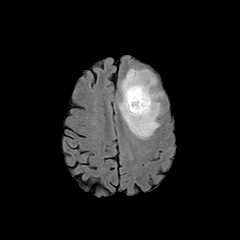
FLAIR magnetic resonance.
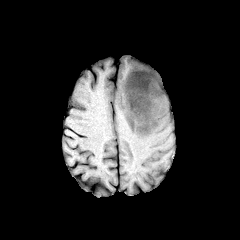
T1-weighted MRI of the same slice.
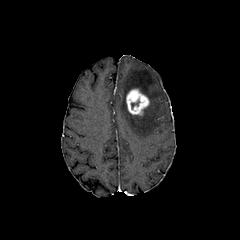
Post-contrast T1-weighted magnetic resonance of the same slice.
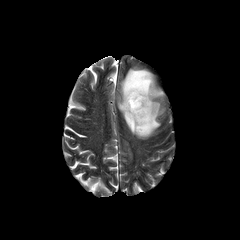
Same slice, T2-weighted MR.
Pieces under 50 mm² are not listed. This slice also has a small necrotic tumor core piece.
{
  "peritumoral_edema": [
    "119 68 163 138"
  ],
  "enhancing_tumor": [
    "126 88 149 115"
  ]
}